FLAIR magnetic resonance.
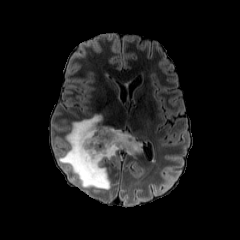
T1-weighted MR.
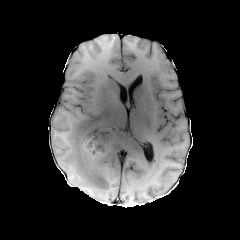
Post-contrast T1-weighted MRI.
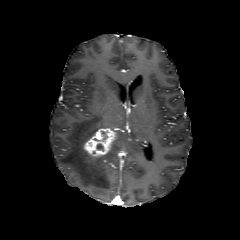
T2-weighted MR.
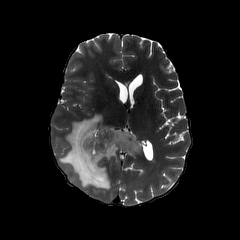
240x240 px
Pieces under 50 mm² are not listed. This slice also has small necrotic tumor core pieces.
The enhancing tumor is bounded by <box>83,128,118,157</box>. The peritumoral edema is located at <box>59,114,141,189</box>.